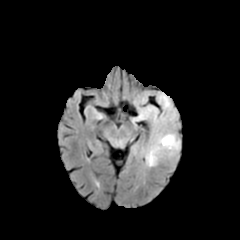
FLAIR MR image.
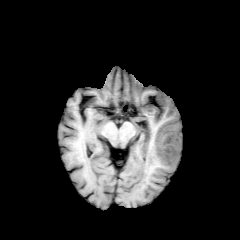
T1-weighted magnetic resonance.
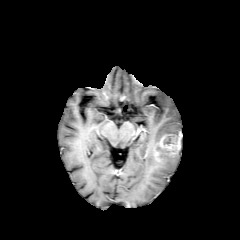
Same slice, post-contrast T1-weighted MR.
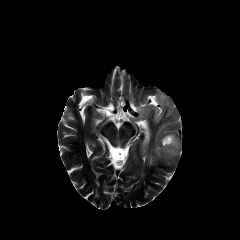
Same slice, T2-weighted MR image.
Brain
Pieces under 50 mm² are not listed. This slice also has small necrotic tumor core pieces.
The peritumoral edema is at 132 91 181 166. The largest enhancing tumor region appears at 157 134 180 157.